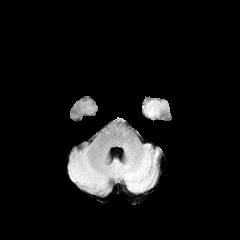
FLAIR magnetic resonance.
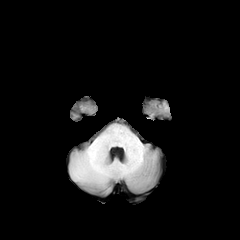
T1-weighted MRI.
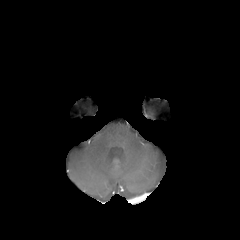
Same slice, post-contrast T1-weighted MRI.
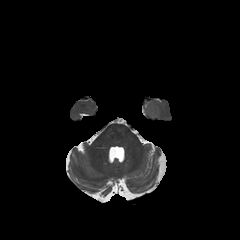
Same slice, T2-weighted MRI.
Head; Axial plane
{
  "peritumoral_edema": [
    {"x1": 145, "y1": 101, "x2": 159, "y2": 116}
  ]
}